FLAIR magnetic resonance.
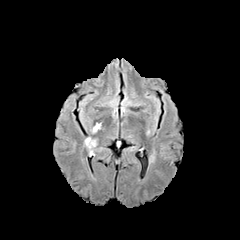
T1-weighted magnetic resonance.
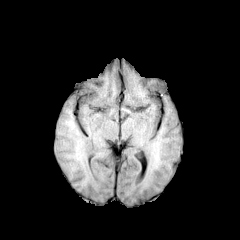
Post-contrast T1-weighted MR.
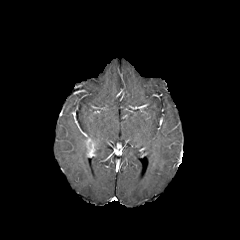
T2-weighted magnetic resonance.
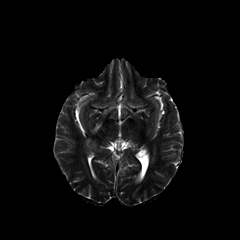
240x240 px.
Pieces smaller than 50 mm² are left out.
The enhancing tumor is bounded by region(85, 138, 96, 155). The largest peritumoral edema region appears at region(92, 123, 101, 133).